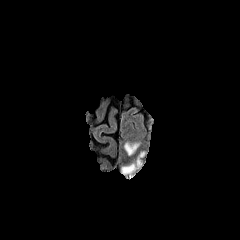
FLAIR MR.
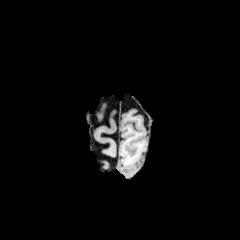
T1-weighted MR of the same slice.
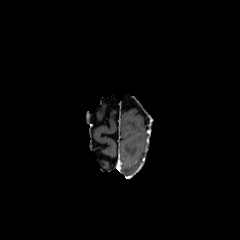
Same slice, post-contrast T1-weighted MR image.
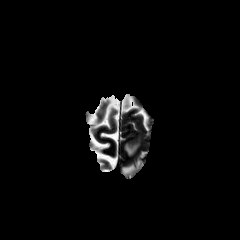
Same slice, T2-weighted MR.
Axial view.
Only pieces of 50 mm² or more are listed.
The 2 largest peritumoral edema regions are bounded by (left=124, top=143, right=138, bottom=155), (left=122, top=164, right=136, bottom=174).